FLAIR MR image.
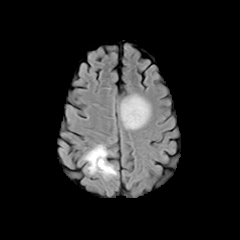
T1-weighted MR image.
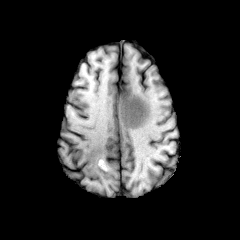
Post-contrast T1-weighted magnetic resonance.
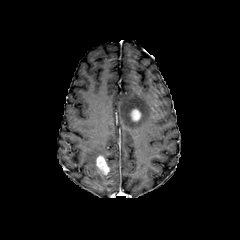
T2-weighted MR.
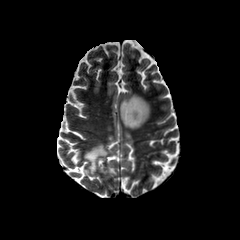
Image size 240x240; Axial plane
• enhancing tumor: 96 155 109 174, 130 108 141 121
• peritumoral edema: 120 94 150 129, 102 162 116 177, 84 144 108 174